Axial view
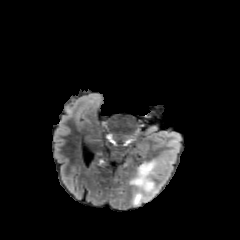
FLAIR MR.
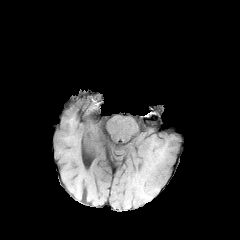
T1-weighted MR.
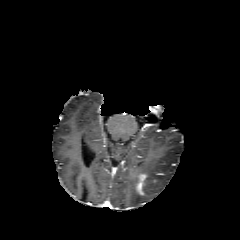
Post-contrast T1-weighted MR image.
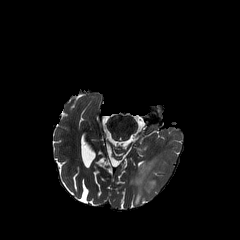
Same slice, T2-weighted magnetic resonance.
enhancing tumor: x1=137 y1=174 x2=145 y2=193
peritumoral edema: x1=130 y1=159 x2=164 y2=205